Brain; Slice 103/155; Image width 240 mm
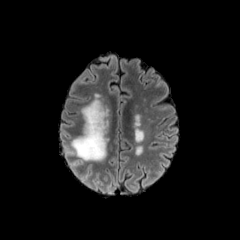
FLAIR MR.
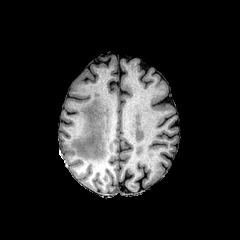
T1-weighted MRI.
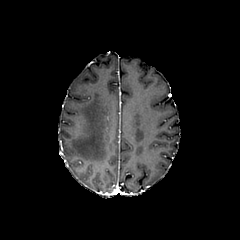
Same slice, post-contrast T1-weighted magnetic resonance.
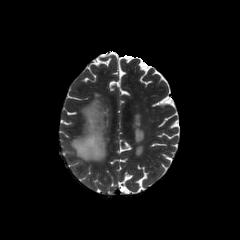
T2-weighted MR.
<segmentation>
  <peritumoral_edema>x1=72 y1=100 x2=111 y2=160</peritumoral_edema>
</segmentation>